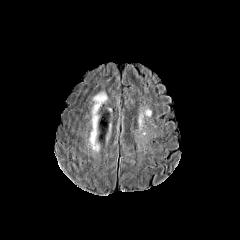
FLAIR magnetic resonance.
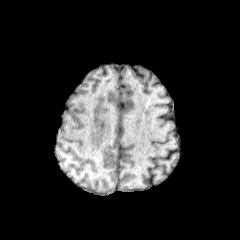
T1-weighted MR image.
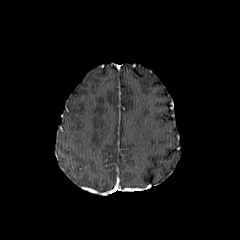
Post-contrast T1-weighted MRI.
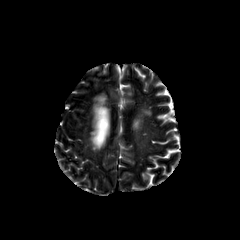
Same slice, T2-weighted MRI.
Head, 240x240
The peritumoral edema lies within <bbox>94, 94, 106, 108</bbox>.